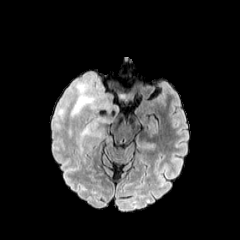
FLAIR MRI.
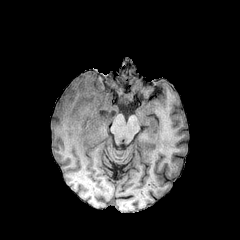
T1-weighted magnetic resonance of the same slice.
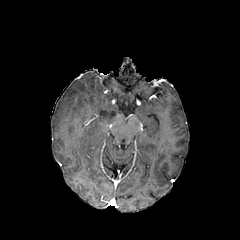
Post-contrast T1-weighted MRI of the same slice.
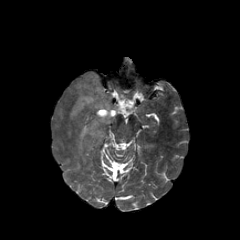
T2-weighted magnetic resonance of the same slice.
Axial view. Brain. 240x240.
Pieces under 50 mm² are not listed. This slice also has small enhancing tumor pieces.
The largest peritumoral edema region lies within (left=53, top=70, right=119, bottom=149).